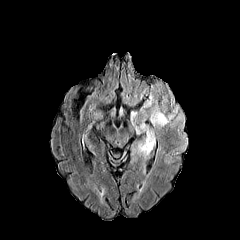
FLAIR magnetic resonance.
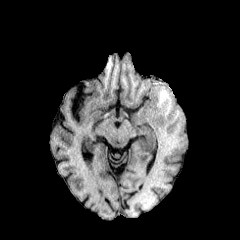
T1-weighted MR.
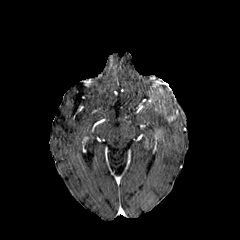
Same slice, post-contrast T1-weighted MR image.
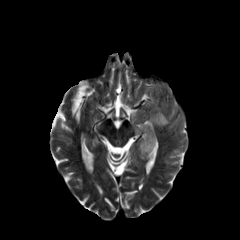
T2-weighted MR.
Head, 240x240 px
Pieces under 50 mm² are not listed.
Segmented structures:
* enhancing tumor: <box>166,110,177,121</box>
* peritumoral edema: <box>131,83,183,156</box>